FLAIR magnetic resonance.
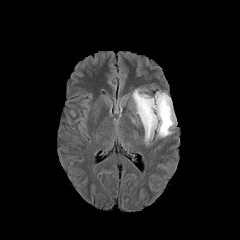
T1-weighted MRI.
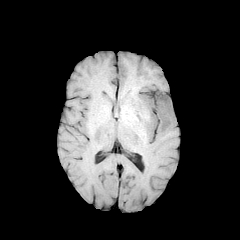
Post-contrast T1-weighted magnetic resonance.
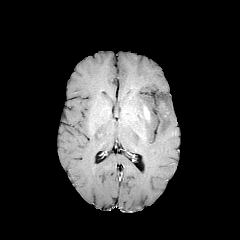
T2-weighted MRI.
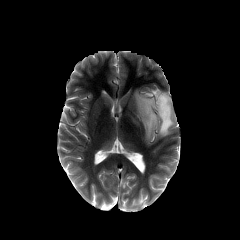
Image size 240x240, Head, Axial plane
enhancing tumor at [144, 106, 149, 120]
peritumoral edema at [132, 89, 176, 142]